FLAIR MRI.
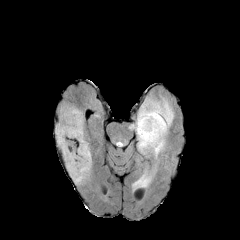
T1-weighted MR.
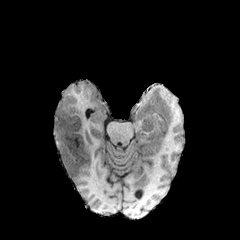
Post-contrast T1-weighted MR.
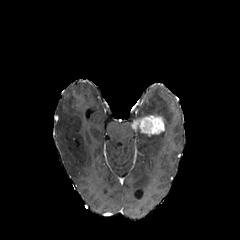
T2-weighted MRI.
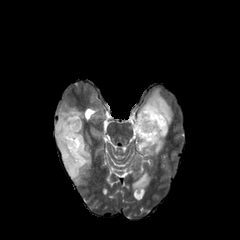
Brain; 240x240
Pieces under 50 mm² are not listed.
The enhancing tumor is located at (131, 115, 164, 136). The 3 largest peritumoral edema regions appear at (57, 102, 91, 185), (136, 92, 173, 158), (130, 171, 155, 190).